240x240 | Head | Axial view | Image width 240 mm, 1.00 mm slice spacing | Slice 123/155
FLAIR MR image.
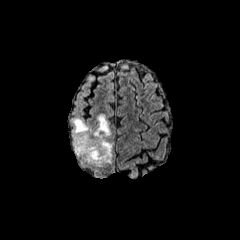
T1-weighted MRI.
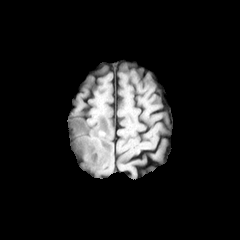
Post-contrast T1-weighted MRI.
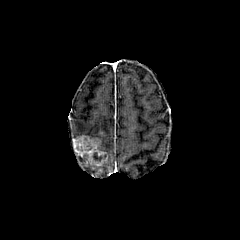
T2-weighted MRI.
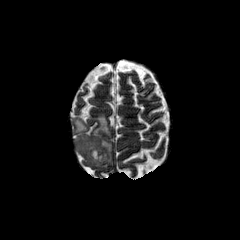
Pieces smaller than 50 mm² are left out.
peritumoral edema at 73,114,112,163
enhancing tumor at 73,135,108,166
necrotic tumor core at 92,152,105,161